FLAIR MR.
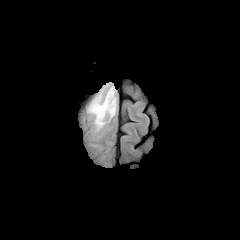
T1-weighted MR image.
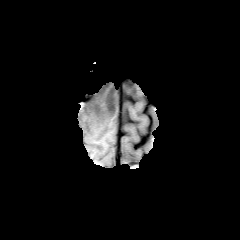
Post-contrast T1-weighted MRI.
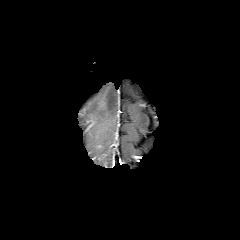
T2-weighted MR.
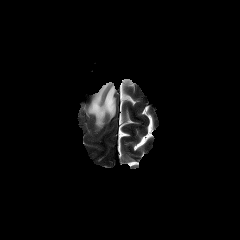
Brain; Axial view; 240x240 px
peritumoral edema at bbox(88, 84, 116, 129)